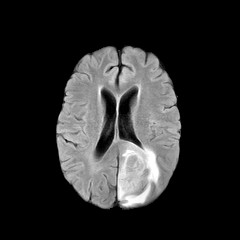
FLAIR MR.
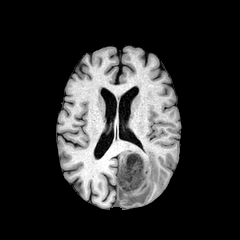
T1-weighted MR of the same slice.
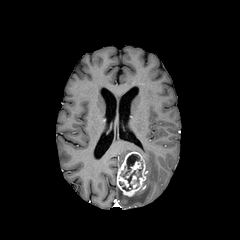
Same slice, post-contrast T1-weighted MR.
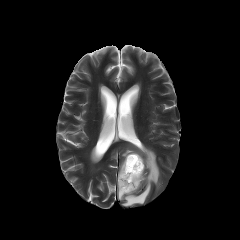
T2-weighted MR.
Axial slice. Head.
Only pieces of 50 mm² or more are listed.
Annotated regions:
* enhancing tumor: x1=117 y1=151 x2=146 y2=196
* necrotic tumor core: x1=136 y1=164 x2=142 y2=182, x1=120 y1=154 x2=139 y2=191
* peritumoral edema: x1=118 y1=143 x2=159 y2=206